FLAIR magnetic resonance.
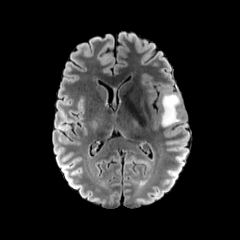
T1-weighted MRI.
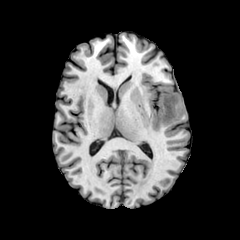
Post-contrast T1-weighted MRI.
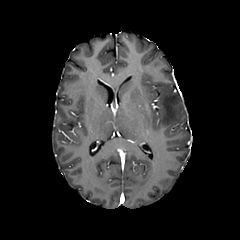
T2-weighted MR image.
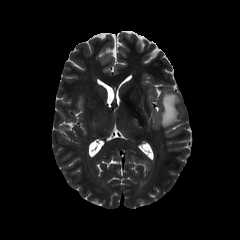
Image size 240x240, Brain
The peritumoral edema is located at (left=161, top=92, right=180, bottom=126).